Slice 79 of 155
FLAIR magnetic resonance.
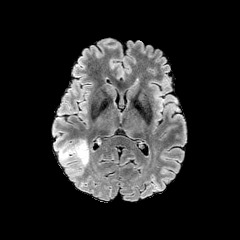
T1-weighted MR image.
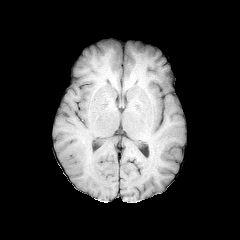
Post-contrast T1-weighted MRI.
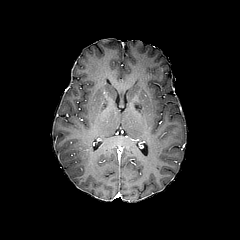
T2-weighted magnetic resonance.
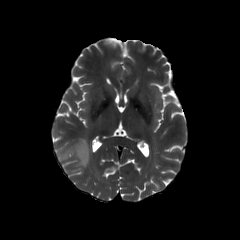
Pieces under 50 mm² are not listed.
peritumoral edema: [58,140,89,166]